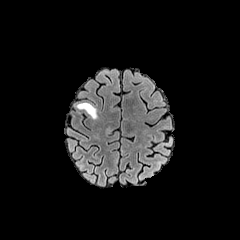
FLAIR magnetic resonance.
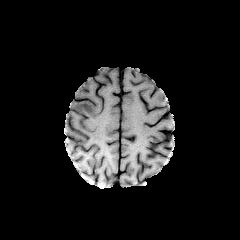
T1-weighted MRI.
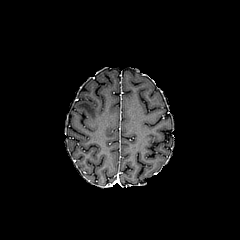
Post-contrast T1-weighted MR image of the same slice.
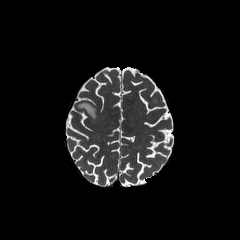
T2-weighted magnetic resonance.
Brain. Image size 240x240.
peritumoral edema at (x1=77, y1=102, x2=96, y2=118)